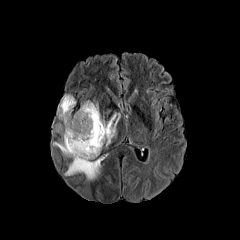
FLAIR MR image.
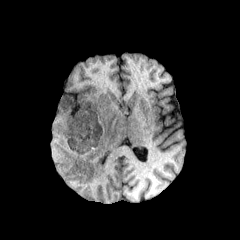
T1-weighted MR image of the same slice.
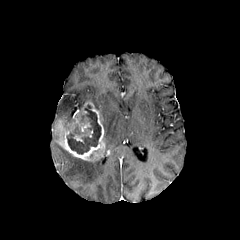
Post-contrast T1-weighted MR image.
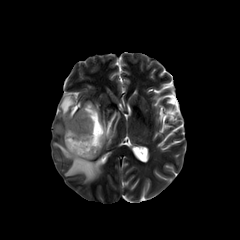
T2-weighted magnetic resonance.
240x240
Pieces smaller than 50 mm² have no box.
* necrotic tumor core: box=[67, 104, 101, 154]
* enhancing tumor: box=[55, 101, 104, 160]
* peritumoral edema: box=[53, 142, 103, 180]; box=[101, 112, 120, 146]; box=[57, 95, 75, 121]